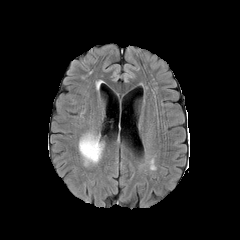
FLAIR MR.
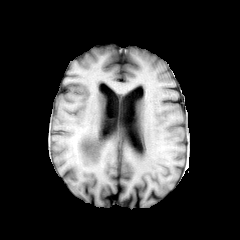
Same slice, T1-weighted magnetic resonance.
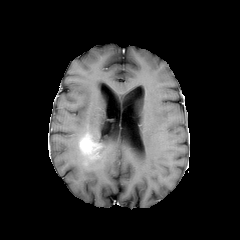
Same slice, post-contrast T1-weighted MR image.
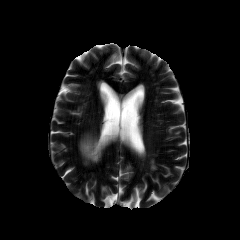
T2-weighted magnetic resonance.
Axial view; Head
{"peritumoral_edema": ["79 148 100 165", "81 132 104 157"], "enhancing_tumor": ["79 134 103 161"]}